FLAIR MRI.
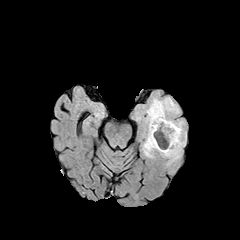
T1-weighted magnetic resonance.
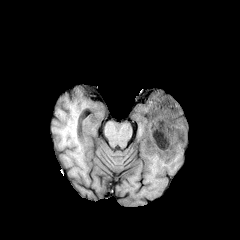
Post-contrast T1-weighted MRI.
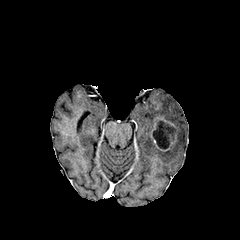
T2-weighted MR image.
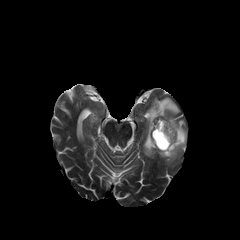
240x240 px
Segmented structures:
• necrotic tumor core: (x1=152, y1=121, x2=175, y2=149)
• enhancing tumor: (x1=151, y1=115, x2=177, y2=151)
• peritumoral edema: (x1=143, y1=97, x2=186, y2=164)